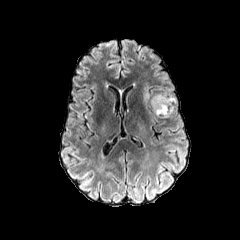
FLAIR magnetic resonance.
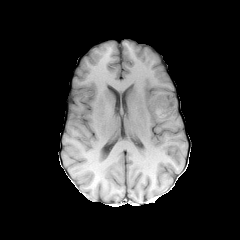
T1-weighted MR image.
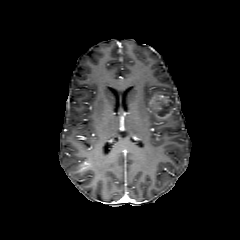
Same slice, post-contrast T1-weighted MR image.
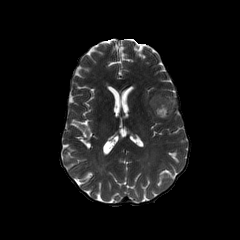
T2-weighted MR.
240x240 px | Axial slice | Head
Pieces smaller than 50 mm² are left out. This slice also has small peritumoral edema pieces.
- enhancing tumor: x1=148 y1=94 x2=174 y2=118
- necrotic tumor core: x1=158 y1=102 x2=171 y2=116